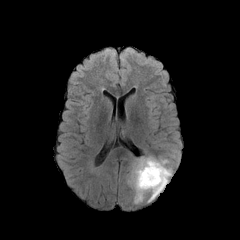
FLAIR MR.
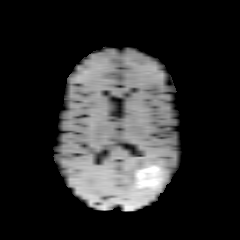
T1-weighted MR of the same slice.
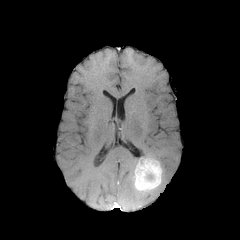
Post-contrast T1-weighted MR of the same slice.
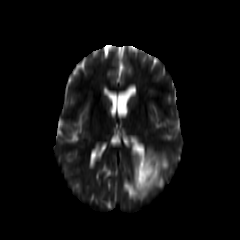
T2-weighted MR.
Head
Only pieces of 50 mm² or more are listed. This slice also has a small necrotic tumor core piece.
The enhancing tumor lies within (133, 158, 162, 192). The peritumoral edema is bounded by (127, 154, 172, 203).